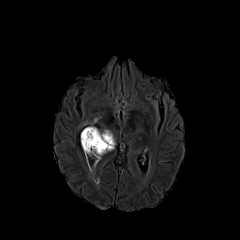
FLAIR MR image.
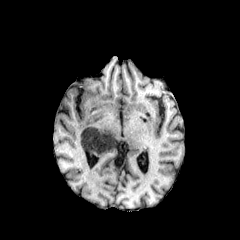
T1-weighted MR image of the same slice.
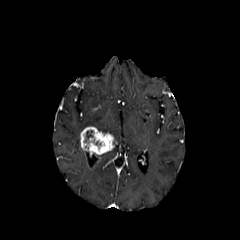
Post-contrast T1-weighted MR of the same slice.
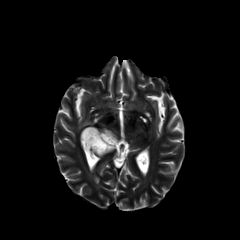
T2-weighted MRI.
Brain
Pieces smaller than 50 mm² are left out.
The largest necrotic tumor core region is bounded by 84,130,93,142. The largest peritumoral edema region is bounded by 79,118,98,128. The enhancing tumor is located at 80,126,114,171.